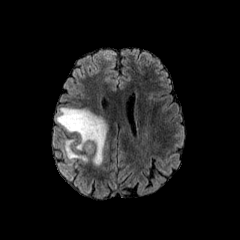
FLAIR MR.
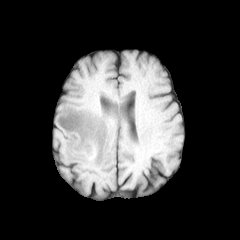
T1-weighted MRI.
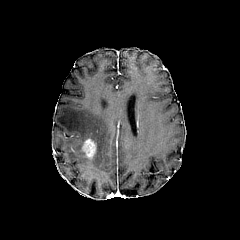
Post-contrast T1-weighted magnetic resonance.
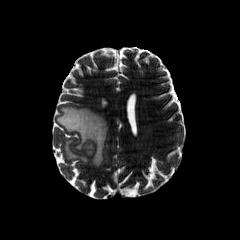
T2-weighted MR of the same slice.
{
  "peritumoral_edema": [
    "(left=65, top=139, right=88, bottom=162)",
    "(left=56, top=107, right=107, bottom=165)"
  ],
  "enhancing_tumor": [
    "(left=82, top=138, right=95, bottom=157)"
  ]
}